FLAIR MR.
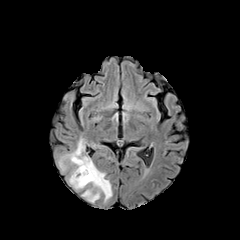
T1-weighted MR image.
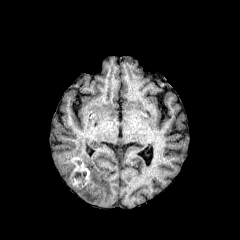
Post-contrast T1-weighted MR.
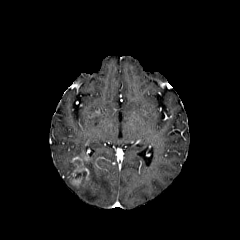
T2-weighted MR.
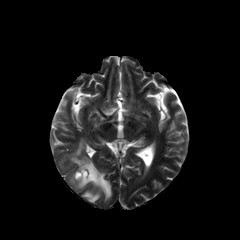
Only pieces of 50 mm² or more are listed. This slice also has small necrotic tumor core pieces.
The 2 largest enhancing tumor regions are bounded by [x1=72, y1=176, x2=82, y2=184], [x1=72, y1=156, x2=90, y2=176]. 2 peritumoral edema regions are located at [x1=69, y1=159, x2=111, y2=202], [x1=59, y1=138, x2=84, y2=166].